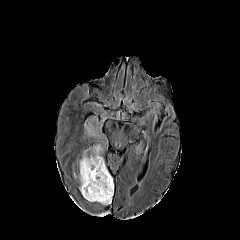
FLAIR MR.
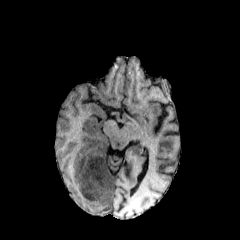
T1-weighted magnetic resonance of the same slice.
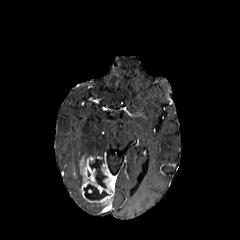
Post-contrast T1-weighted MR.
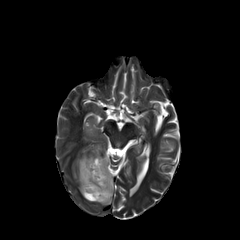
Same slice, T2-weighted MRI.
Brain | Axial plane
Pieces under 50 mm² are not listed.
Findings:
• enhancing tumor: left=79, top=155, right=114, bottom=204
• necrotic tumor core: left=84, top=184, right=108, bottom=200; left=89, top=158, right=106, bottom=188
• peritumoral edema: left=91, top=144, right=102, bottom=155; left=85, top=125, right=98, bottom=136